Brain
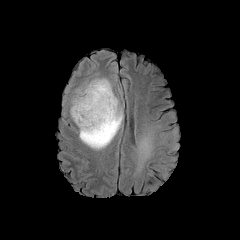
FLAIR MRI.
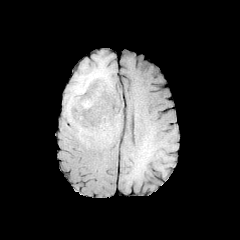
T1-weighted MR image.
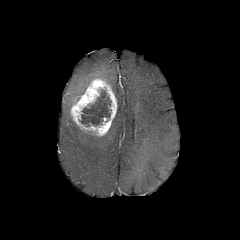
Post-contrast T1-weighted MRI.
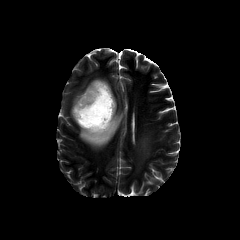
Same slice, T2-weighted MRI.
<segmentation>
  <enhancing_tumor>bbox=[70, 78, 117, 136]</enhancing_tumor>
  <peritumoral_edema>bbox=[133, 123, 178, 175]; bbox=[69, 77, 123, 149]</peritumoral_edema>
  <necrotic_tumor_core>bbox=[79, 89, 111, 126]</necrotic_tumor_core>
</segmentation>